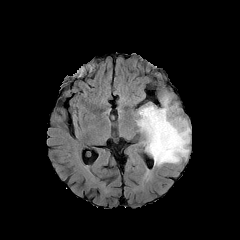
FLAIR MR image.
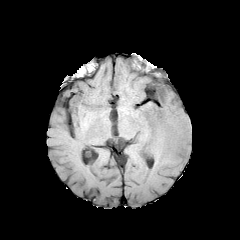
T1-weighted MR.
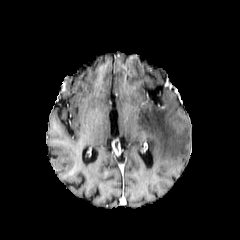
Post-contrast T1-weighted MR.
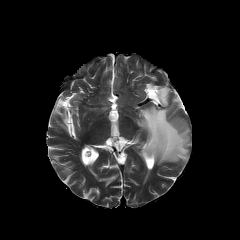
T2-weighted MR.
Axial plane, Image size 240x240
peritumoral_edema:
  - (136, 91, 190, 165)